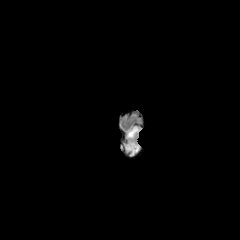
FLAIR magnetic resonance.
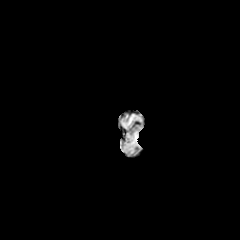
T1-weighted MR image.
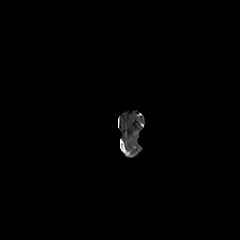
Post-contrast T1-weighted MRI.
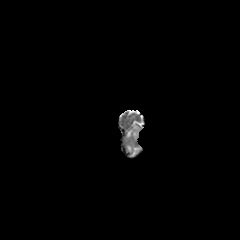
Same slice, T2-weighted MRI.
Image size 240x240; Axial plane; Head
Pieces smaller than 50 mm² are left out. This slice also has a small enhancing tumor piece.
Segmented structures:
* peritumoral edema: [127, 127, 140, 153]